FLAIR MR image.
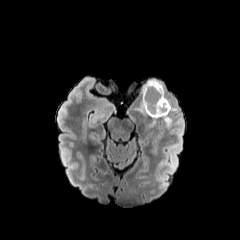
T1-weighted MR.
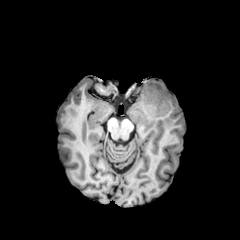
Post-contrast T1-weighted MRI.
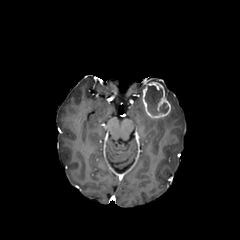
T2-weighted MRI.
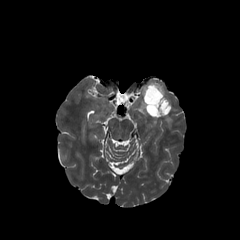
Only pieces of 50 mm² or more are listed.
The enhancing tumor is bounded by 142:81:170:118. The 2 largest peritumoral edema regions appear at 138:101:146:114, 163:114:172:126. 2 necrotic tumor core regions are located at 160:103:168:112, 145:85:162:114.